Axial slice | Image size 240x240
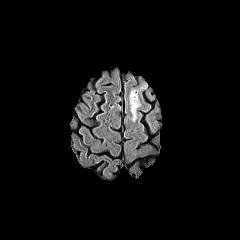
FLAIR MRI.
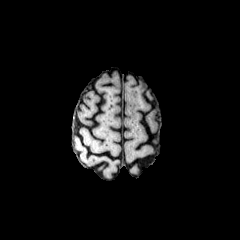
T1-weighted MR image.
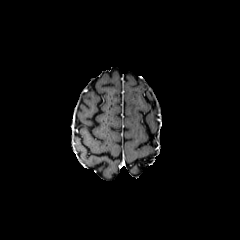
Post-contrast T1-weighted MRI of the same slice.
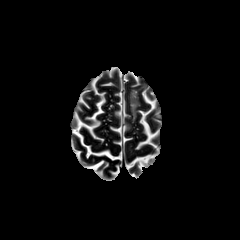
T2-weighted magnetic resonance.
peritumoral edema = (130, 89, 140, 121)